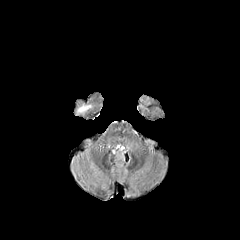
FLAIR magnetic resonance.
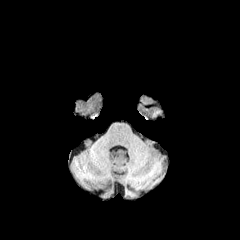
Same slice, T1-weighted MR.
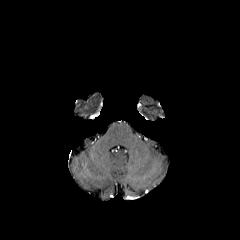
Same slice, post-contrast T1-weighted MR.
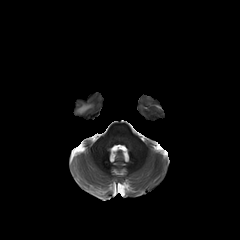
T2-weighted MRI.
Axial slice
<segmentation>
  <peritumoral_edema>region(78, 105, 91, 112)</peritumoral_edema>
</segmentation>